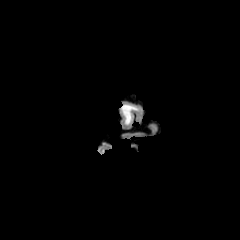
FLAIR magnetic resonance.
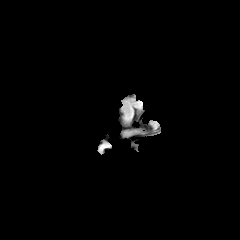
Same slice, T1-weighted MR.
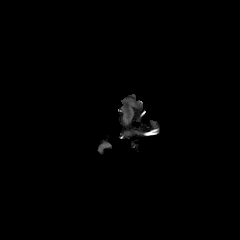
Post-contrast T1-weighted MR of the same slice.
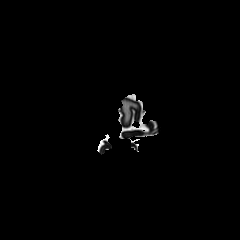
T2-weighted MR image.
240x240 px
peritumoral_edema:
  - [x1=122, y1=103, x2=137, y2=123]